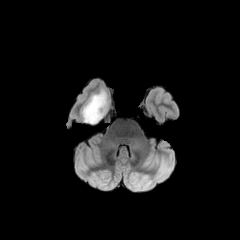
FLAIR MR image.
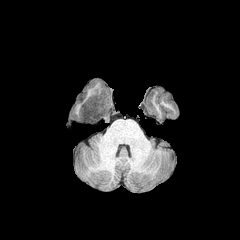
T1-weighted magnetic resonance of the same slice.
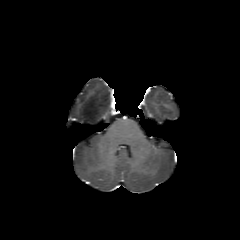
Post-contrast T1-weighted MR of the same slice.
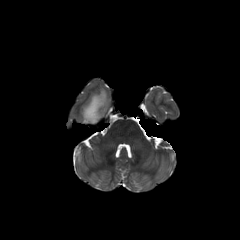
T2-weighted MRI of the same slice.
Axial slice; Head
peritumoral edema — region(81, 90, 110, 125)